FLAIR magnetic resonance.
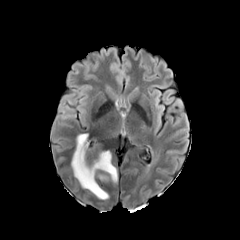
T1-weighted MRI.
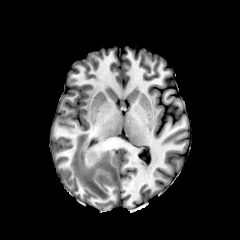
Post-contrast T1-weighted MR.
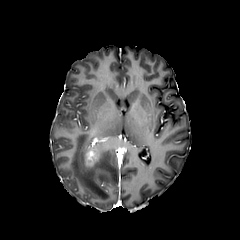
T2-weighted MRI.
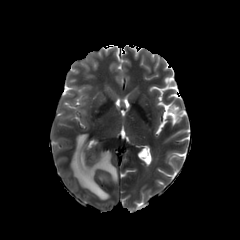
Brain
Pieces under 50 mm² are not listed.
* peritumoral edema: <box>71,134,117,200</box>
* enhancing tumor: <box>87,151,98,166</box>